FLAIR magnetic resonance.
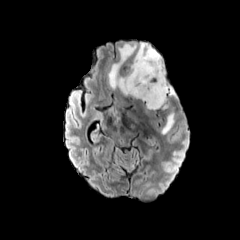
T1-weighted magnetic resonance.
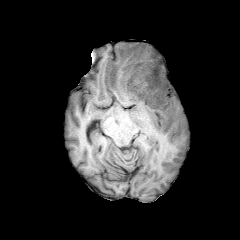
Post-contrast T1-weighted MR.
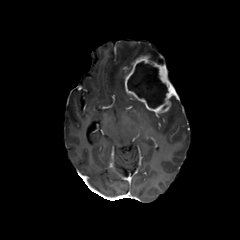
T2-weighted MR.
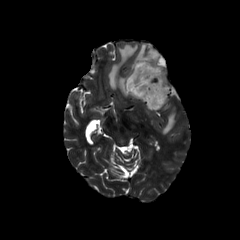
Axial slice, Head
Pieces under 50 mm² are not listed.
Findings:
* peritumoral edema: x1=108 y1=42 x2=163 y2=95, x1=161 y1=96 x2=176 y2=134
* enhancing tumor: x1=124 y1=54 x2=179 y2=114
* necrotic tumor core: x1=127 y1=61 x2=167 y2=108